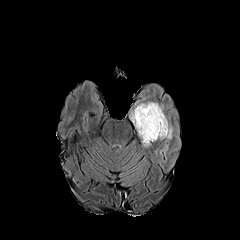
FLAIR magnetic resonance.
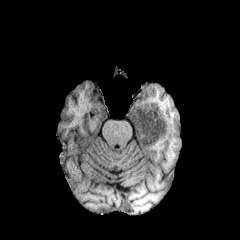
T1-weighted MR.
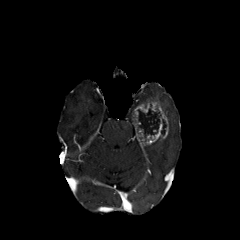
Post-contrast T1-weighted magnetic resonance of the same slice.
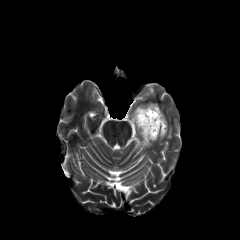
Same slice, T2-weighted MR image.
Brain
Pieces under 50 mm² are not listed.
peritumoral edema: bounding box 166, 125, 172, 138
enhancing tumor: bounding box 138, 102, 168, 145; 132, 102, 149, 128
necrotic tumor core: bounding box 137, 103, 161, 138; 161, 119, 166, 135